FLAIR MRI.
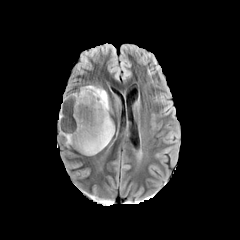
T1-weighted magnetic resonance.
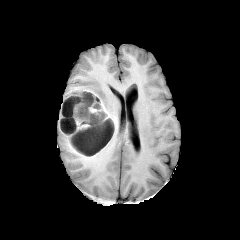
Post-contrast T1-weighted MR image.
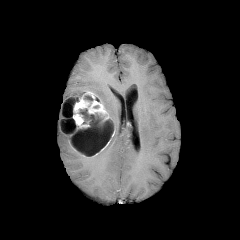
T2-weighted MR image.
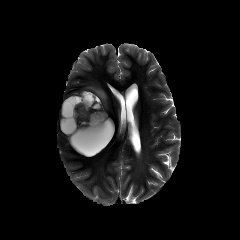
240x240
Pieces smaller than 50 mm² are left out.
<segmentation>
  <enhancing_tumor>bbox=[58, 91, 114, 156]</enhancing_tumor>
  <peritumoral_edema>bbox=[79, 85, 109, 114]</peritumoral_edema>
  <necrotic_tumor_core>bbox=[60, 119, 76, 133]; bbox=[62, 96, 78, 116]; bbox=[70, 108, 112, 154]</necrotic_tumor_core>
</segmentation>